FLAIR MR image.
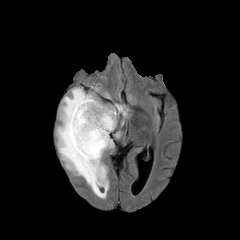
T1-weighted MR image.
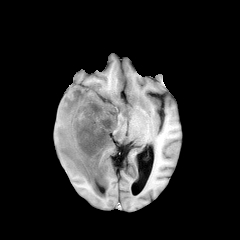
Post-contrast T1-weighted MR image.
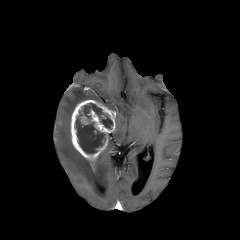
T2-weighted magnetic resonance.
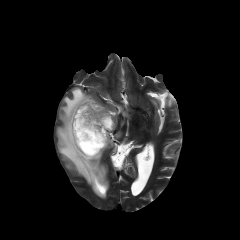
Axial view
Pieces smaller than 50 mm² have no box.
peritumoral edema: [106, 136, 113, 149], [115, 104, 127, 117], [57, 87, 108, 198] | enhancing tumor: [70, 100, 116, 170] | necrotic tumor core: [75, 111, 105, 153], [82, 103, 112, 128]